Brain
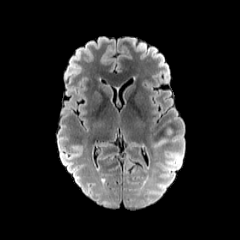
FLAIR magnetic resonance.
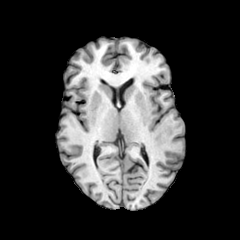
Same slice, T1-weighted magnetic resonance.
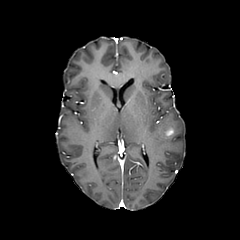
Post-contrast T1-weighted MR image.
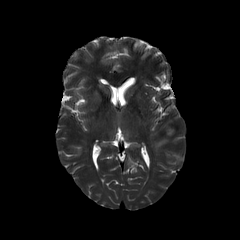
Same slice, T2-weighted magnetic resonance.
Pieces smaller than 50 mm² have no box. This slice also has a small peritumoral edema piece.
The enhancing tumor appears at bbox(165, 126, 173, 136).